Head. Axial slice. Slice index 120.
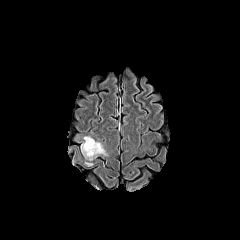
FLAIR MR.
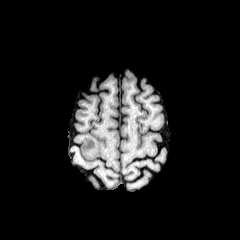
T1-weighted MR image.
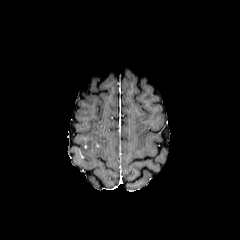
Post-contrast T1-weighted MRI.
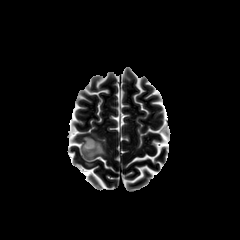
T2-weighted MRI.
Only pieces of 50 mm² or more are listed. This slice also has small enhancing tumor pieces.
The largest peritumoral edema region lies within bbox=[81, 136, 106, 159].